FLAIR MR image.
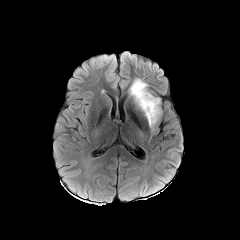
T1-weighted MRI.
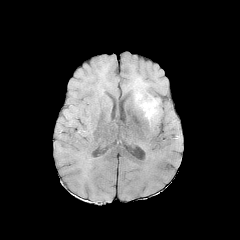
Post-contrast T1-weighted MRI.
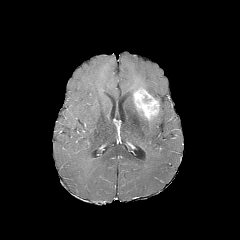
T2-weighted MRI.
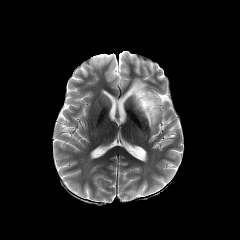
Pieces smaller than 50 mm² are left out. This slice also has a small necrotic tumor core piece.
enhancing tumor = bbox(133, 88, 159, 120)
peritumoral edema = bbox(129, 78, 151, 97); bbox(148, 106, 161, 129)